240x240 px. Image width 240 mm.
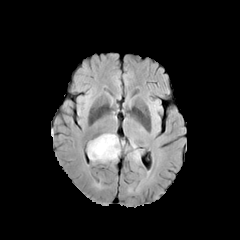
FLAIR MRI.
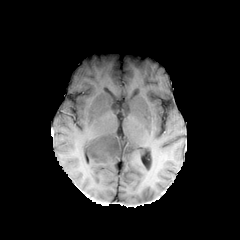
Same slice, T1-weighted MR image.
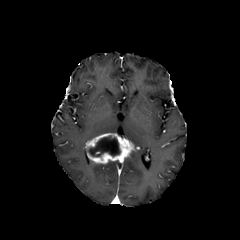
Post-contrast T1-weighted magnetic resonance.
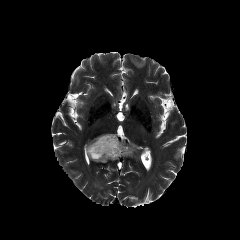
Same slice, T2-weighted MR.
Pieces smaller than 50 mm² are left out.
necrotic_tumor_core:
  - [x1=88, y1=136, x2=120, y2=156]
peritumoral_edema:
  - [x1=130, y1=149, x2=140, y2=161]
enhancing_tumor:
  - [x1=85, y1=133, x2=135, y2=163]